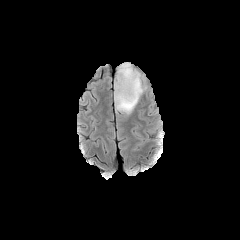
FLAIR magnetic resonance.
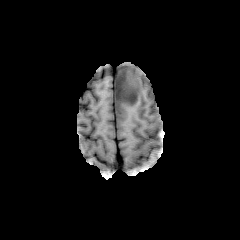
T1-weighted MR image.
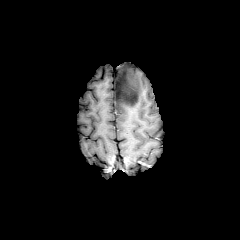
Post-contrast T1-weighted MR.
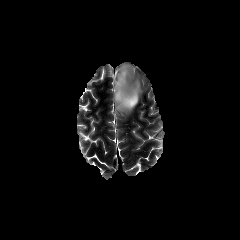
T2-weighted MR image.
240x240; Brain
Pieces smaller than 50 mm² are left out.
necrotic_tumor_core:
  - {"x1": 114, "y1": 65, "x2": 138, "y2": 105}
peritumoral_edema:
  - {"x1": 115, "y1": 63, "x2": 145, "y2": 114}